FLAIR MR image.
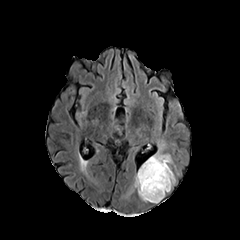
T1-weighted MRI.
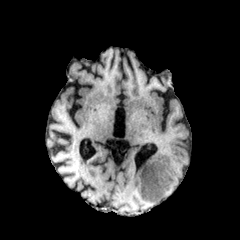
Post-contrast T1-weighted MRI.
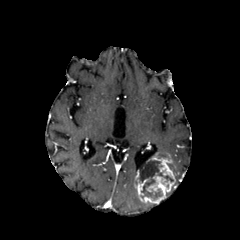
T2-weighted MR image.
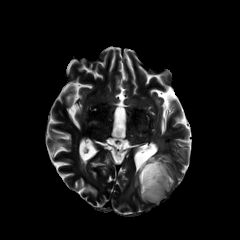
Axial plane, Brain
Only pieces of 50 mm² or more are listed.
enhancing tumor = [x1=134, y1=152, x2=175, y2=203]
necrotic tumor core = [x1=141, y1=179, x2=154, y2=198], [x1=153, y1=188, x2=162, y2=199], [x1=139, y1=161, x2=163, y2=182]
peritumoral edema = [x1=124, y1=180, x2=135, y2=196], [x1=158, y1=142, x2=167, y2=157]